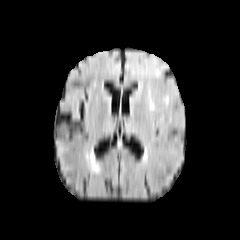
FLAIR magnetic resonance.
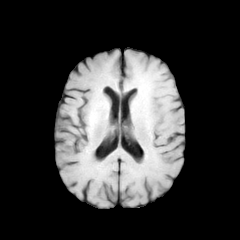
Same slice, T1-weighted MRI.
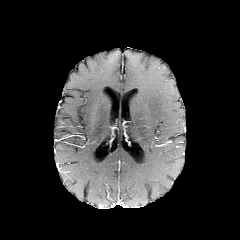
Post-contrast T1-weighted MRI of the same slice.
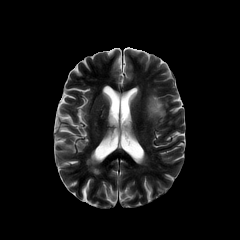
T2-weighted MR image.
240x240. Brain.
peritumoral edema — left=149, top=99, right=160, bottom=110